Axial view. Head. Image width 240 mm.
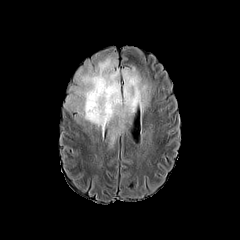
FLAIR MR image.
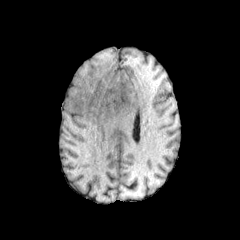
T1-weighted magnetic resonance.
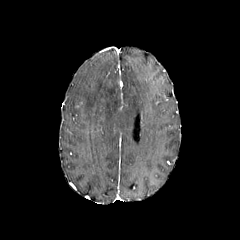
Post-contrast T1-weighted magnetic resonance.
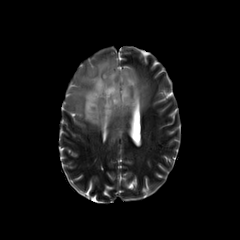
T2-weighted MRI.
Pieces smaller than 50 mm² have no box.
<segmentation>
  <peritumoral_edema>region(65, 57, 152, 127)</peritumoral_edema>
</segmentation>